FLAIR MR image.
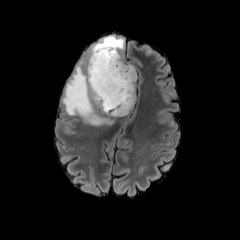
T1-weighted MR.
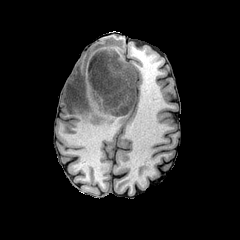
Post-contrast T1-weighted MR image.
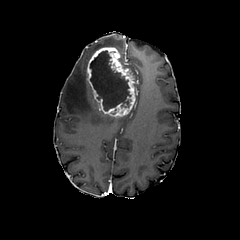
T2-weighted magnetic resonance.
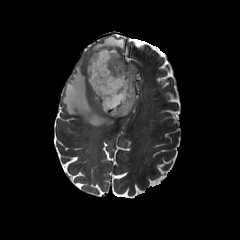
Axial slice; Brain; Image size 240x240
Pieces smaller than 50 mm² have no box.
peritumoral_edema:
  - (x1=119, y1=55, x2=136, y2=81)
  - (x1=62, y1=35, x2=124, y2=126)
enhancing_tumor:
  - (x1=87, y1=47, x2=135, y2=117)
necrotic_tumor_core:
  - (x1=90, y1=50, x2=131, y2=111)